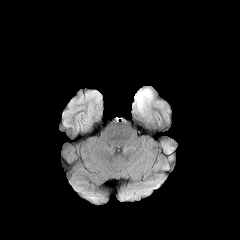
FLAIR MR.
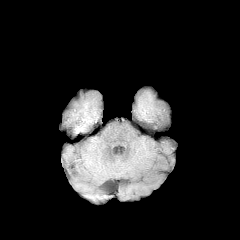
Same slice, T1-weighted magnetic resonance.
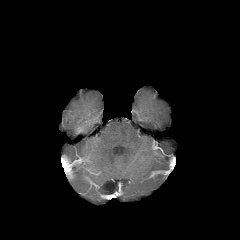
Same slice, post-contrast T1-weighted MR.
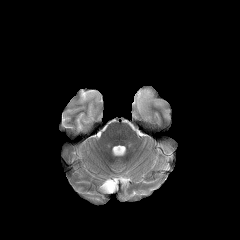
T2-weighted MR image.
peritumoral_edema:
  - 133:88:153:115